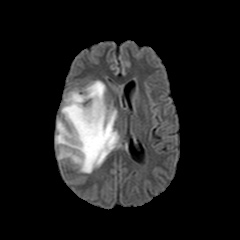
FLAIR MR image.
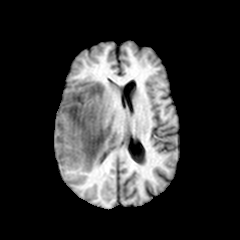
T1-weighted MR.
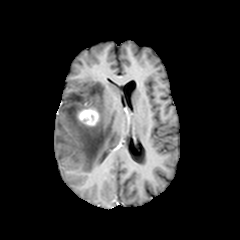
Post-contrast T1-weighted MR image of the same slice.
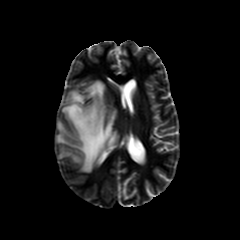
Same slice, T2-weighted MR.
Brain.
The enhancing tumor is bounded by left=78, top=107, right=99, bottom=125. The peritumoral edema lies within left=55, top=80, right=119, bottom=173.